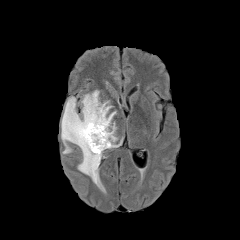
FLAIR magnetic resonance.
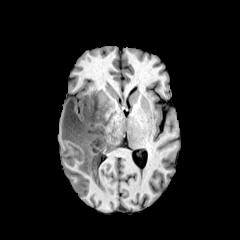
T1-weighted MRI.
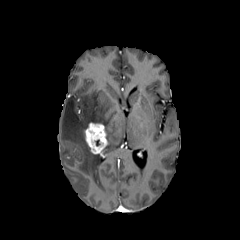
Same slice, post-contrast T1-weighted magnetic resonance.
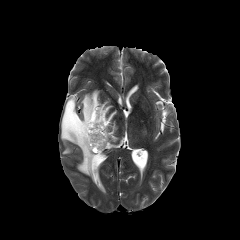
T2-weighted MR of the same slice.
Axial plane. Brain.
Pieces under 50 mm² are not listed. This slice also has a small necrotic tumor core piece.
Annotated regions:
* peritumoral edema: (61,90,118,191)
* enhancing tumor: (84,123,108,155)